Axial view; Slice 61 of 155
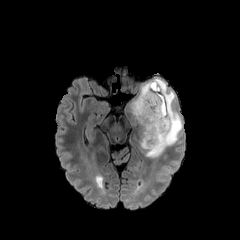
FLAIR MRI.
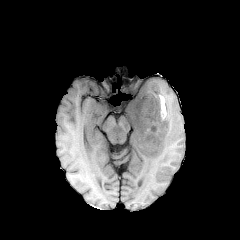
T1-weighted magnetic resonance of the same slice.
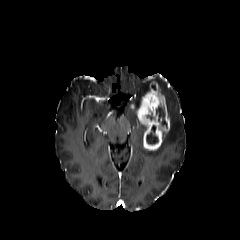
Post-contrast T1-weighted MRI of the same slice.
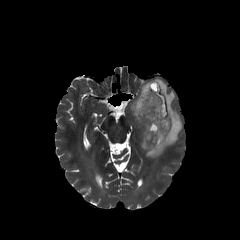
T2-weighted MR image.
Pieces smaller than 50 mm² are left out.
The 2 largest necrotic tumor core regions are bounded by 146 125 158 143, 156 105 166 125. The largest peritumoral edema region is bounded by 131 78 182 157. The enhancing tumor is bounded by 130 81 170 150.